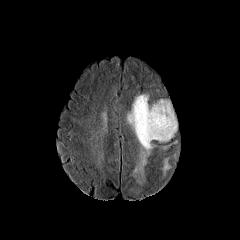
FLAIR magnetic resonance.
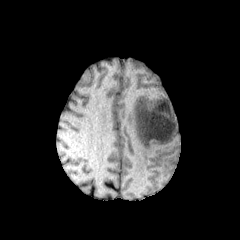
T1-weighted magnetic resonance of the same slice.
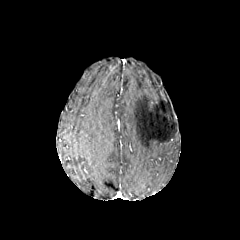
Post-contrast T1-weighted MR image.
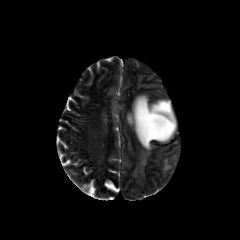
T2-weighted MR.
Axial plane; Head
<segmentation>
  <peritumoral_edema><box>162,158,170,173</box>, <box>127,94,177,183</box></peritumoral_edema>
</segmentation>